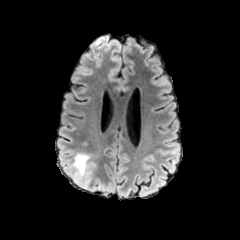
FLAIR magnetic resonance.
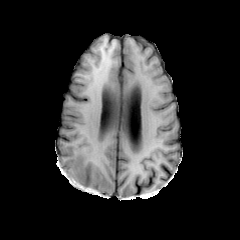
Same slice, T1-weighted MR.
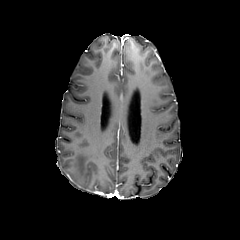
Post-contrast T1-weighted MR.
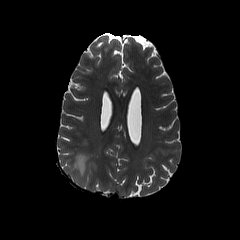
Same slice, T2-weighted MRI.
peritumoral edema at x1=69, y1=152, x2=93, y2=188